Axial slice. Image width 240 mm. Head.
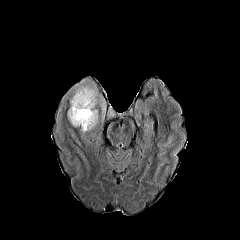
FLAIR magnetic resonance.
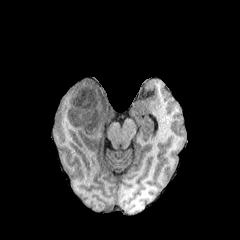
T1-weighted MRI.
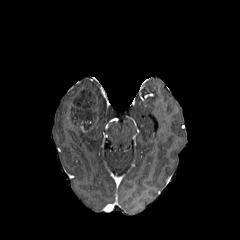
Post-contrast T1-weighted MR image.
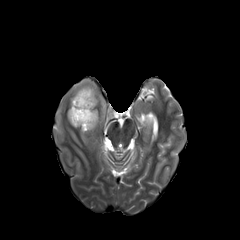
T2-weighted MRI.
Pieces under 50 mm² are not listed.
enhancing tumor: 75 123 87 132 | necrotic tumor core: 70 89 96 131 | peritumoral edema: 107 106 114 118, 67 79 105 125